FLAIR MR.
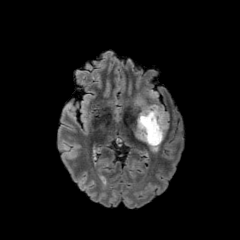
T1-weighted MRI.
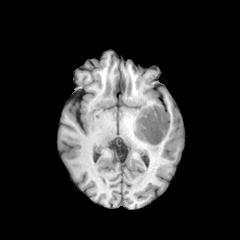
Post-contrast T1-weighted magnetic resonance.
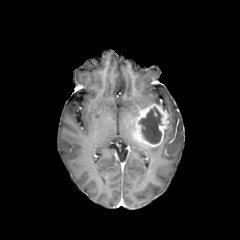
T2-weighted MRI.
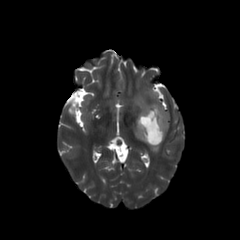
Axial plane, 240x240
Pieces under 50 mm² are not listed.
enhancing tumor: (x1=133, y1=104, x2=168, y2=147) | necrotic tumor core: (x1=139, y1=107, x2=161, y2=143) | peritumoral edema: (x1=134, y1=93, x2=151, y2=108), (x1=149, y1=89, x2=157, y2=98)